Axial plane. Slice index 35.
FLAIR magnetic resonance.
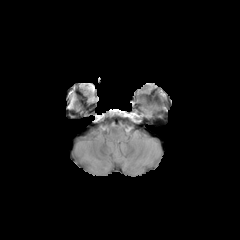
T1-weighted magnetic resonance.
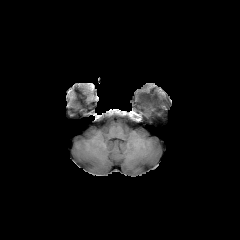
Post-contrast T1-weighted MR image.
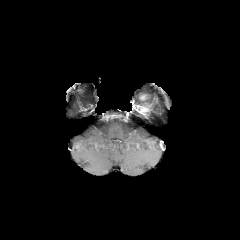
T2-weighted MR.
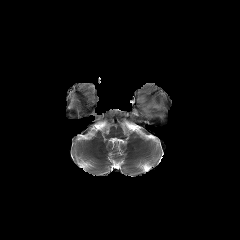
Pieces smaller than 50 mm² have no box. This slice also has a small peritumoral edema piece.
enhancing tumor — bbox(138, 105, 150, 115)